Image width 240 mm, 1.00 mm slice spacing; Image size 240x240; Axial view
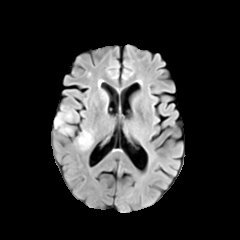
FLAIR MR image.
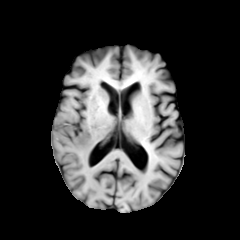
T1-weighted MR image.
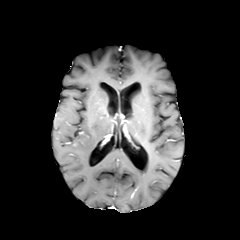
Post-contrast T1-weighted MR image.
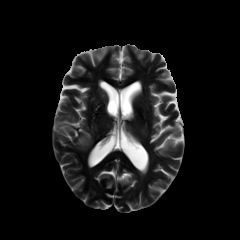
T2-weighted MR image.
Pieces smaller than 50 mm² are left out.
The 2 largest peritumoral edema regions are located at 55:116:71:133, 77:130:93:150.